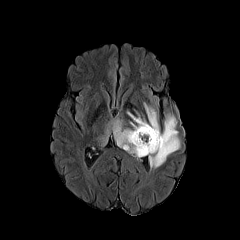
FLAIR MRI.
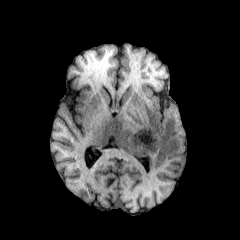
Same slice, T1-weighted MRI.
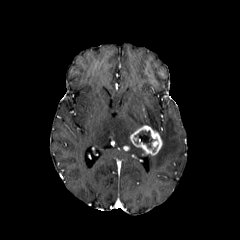
Post-contrast T1-weighted MR image.
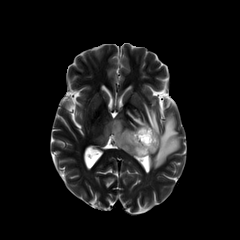
Same slice, T2-weighted MR image.
Image size 240x240. Head. Axial plane.
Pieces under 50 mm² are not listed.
The peritumoral edema is bounded by <box>100,103,180,168</box>. The enhancing tumor is bounded by <box>130,125,162,155</box>. The largest necrotic tumor core region appears at <box>134,131,156,148</box>.